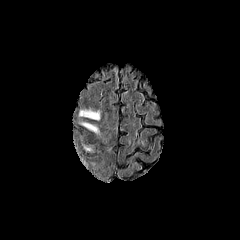
FLAIR MR.
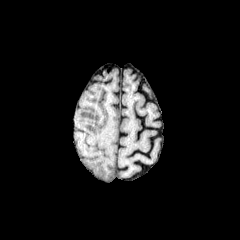
T1-weighted MR of the same slice.
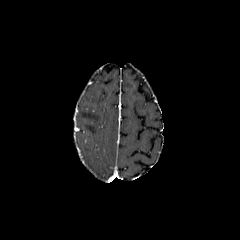
Post-contrast T1-weighted MRI of the same slice.
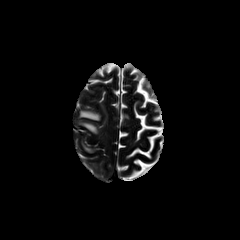
T2-weighted MRI.
Axial slice | Head
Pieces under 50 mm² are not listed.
The 2 largest peritumoral edema regions are bounded by x1=79 y1=110 x2=100 y2=120, x1=81 y1=122 x2=98 y2=133.